Slice 84/155
FLAIR MR.
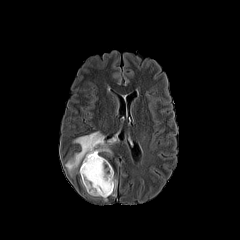
T1-weighted magnetic resonance.
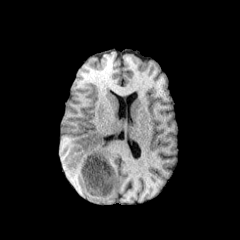
Post-contrast T1-weighted magnetic resonance.
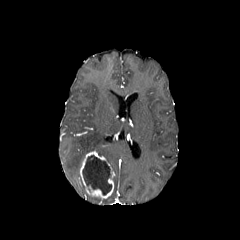
T2-weighted MR image.
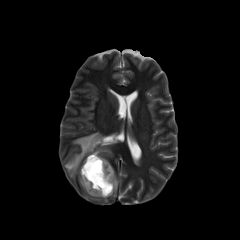
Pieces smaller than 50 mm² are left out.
peritumoral edema = <box>65,131,112,176</box>, <box>111,177,117,196</box>
enhancing tumor = <box>79,151,114,198</box>
necrotic tumor core = <box>82,155,111,195</box>